Axial plane | Image size 240x240
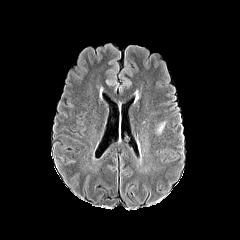
FLAIR MRI.
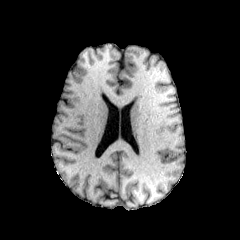
Same slice, T1-weighted MRI.
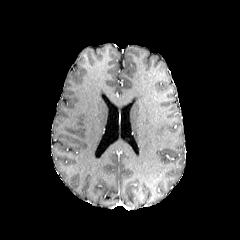
Post-contrast T1-weighted magnetic resonance.
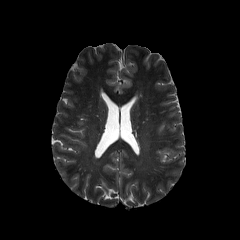
T2-weighted magnetic resonance.
The peritumoral edema is bounded by (157,122,164,133).